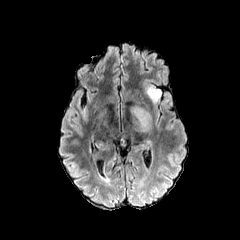
FLAIR magnetic resonance.
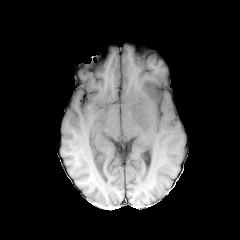
T1-weighted MR of the same slice.
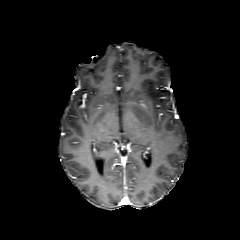
Post-contrast T1-weighted magnetic resonance.
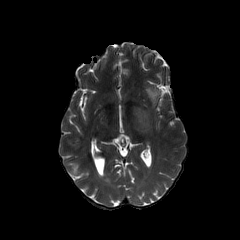
T2-weighted magnetic resonance of the same slice.
Axial plane; Brain
peritumoral edema: {"x1": 130, "y1": 106, "x2": 152, "y2": 127}, {"x1": 145, "y1": 86, "x2": 160, "y2": 104}